Image width 240 mm. Slice 101/155. Head. Axial view. Image size 240x240.
FLAIR magnetic resonance.
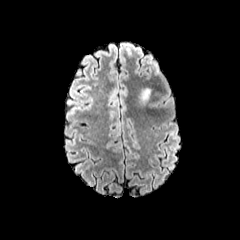
T1-weighted magnetic resonance.
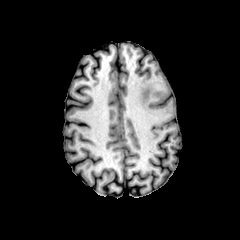
Post-contrast T1-weighted MRI.
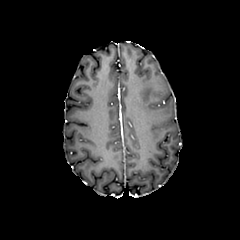
T2-weighted MRI.
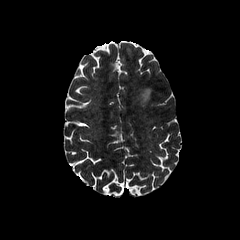
<segmentation>
  <peritumoral_edema>140 88 150 103</peritumoral_edema>
</segmentation>